FLAIR MR image.
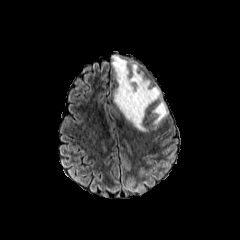
T1-weighted magnetic resonance.
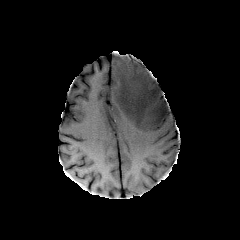
Post-contrast T1-weighted MR.
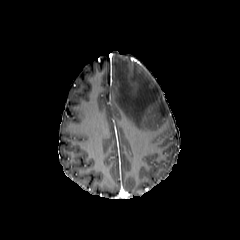
T2-weighted MRI.
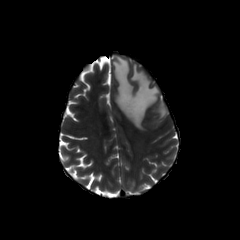
Brain, Axial slice
Segmented structures:
- peritumoral edema: 152:101:168:124, 112:55:160:131